Head | Axial slice | 240x240 | Slice index 103
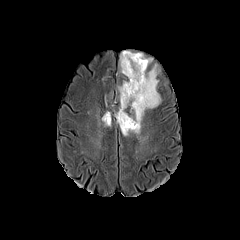
FLAIR MR image.
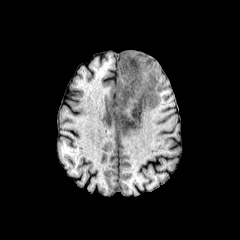
T1-weighted MRI.
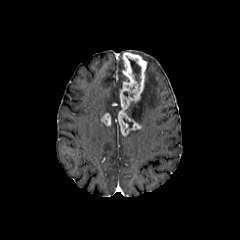
Same slice, post-contrast T1-weighted magnetic resonance.
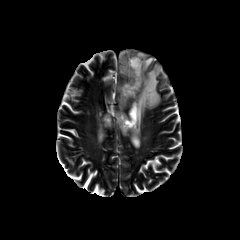
T2-weighted MRI.
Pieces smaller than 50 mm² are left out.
The 2 largest peritumoral edema regions appear at [x1=133, y1=52, x2=153, y2=67], [x1=129, y1=64, x2=161, y2=125]. The largest necrotic tumor core region is located at [x1=129, y1=59, x2=140, y2=82]. 2 enhancing tumor regions appear at [x1=101, y1=113, x2=111, y2=125], [x1=117, y1=52, x2=147, y2=135].